FLAIR magnetic resonance.
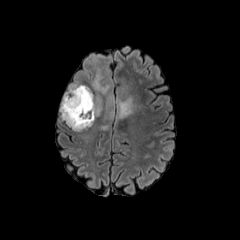
T1-weighted MRI.
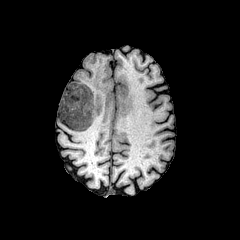
Post-contrast T1-weighted MR image.
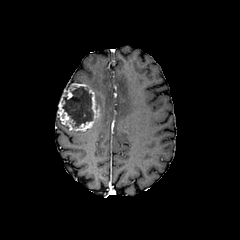
T2-weighted MR image.
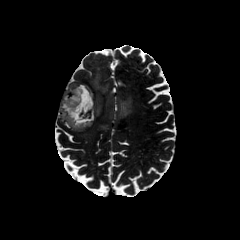
Head.
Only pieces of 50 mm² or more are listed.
Findings:
• necrotic tumor core: {"x1": 62, "y1": 87, "x2": 93, "y2": 127}
• peritumoral edema: {"x1": 116, "y1": 96, "x2": 133, "y2": 118}, {"x1": 91, "y1": 57, "x2": 114, "y2": 120}, {"x1": 96, "y1": 94, "x2": 102, "y2": 113}
• enhancing tumor: {"x1": 58, "y1": 83, "x2": 100, "y2": 131}